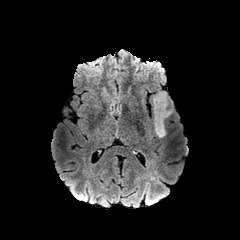
FLAIR MR.
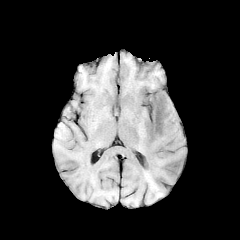
T1-weighted MR.
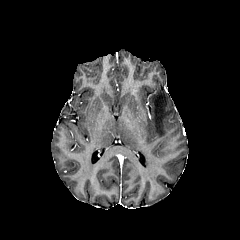
Same slice, post-contrast T1-weighted MRI.
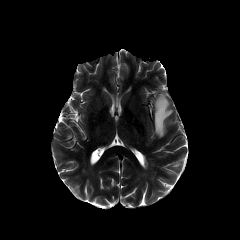
T2-weighted MR.
Head. Axial slice.
peritumoral edema — bbox=[152, 92, 172, 137]